FLAIR MRI.
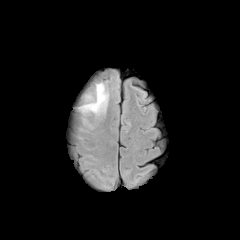
T1-weighted MR.
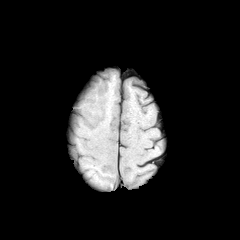
Post-contrast T1-weighted MRI.
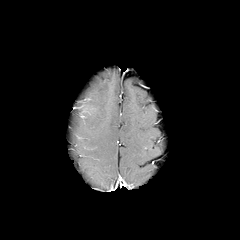
T2-weighted MR.
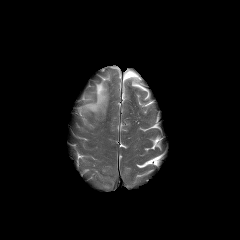
Head
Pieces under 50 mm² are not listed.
The largest peritumoral edema region lies within x1=79 y1=83 x2=108 y2=114.